Image width 240 mm, 1.00 mm slice spacing | Slice 85 of 155 | Head
FLAIR MR image.
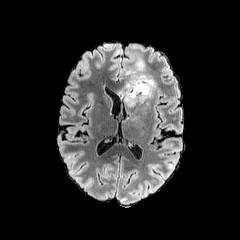
T1-weighted MRI.
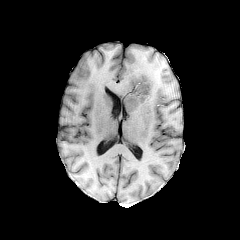
Post-contrast T1-weighted MR image.
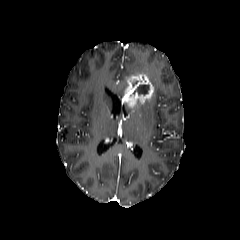
T2-weighted MRI.
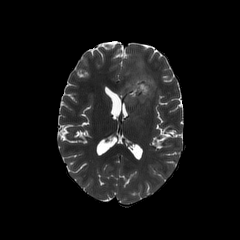
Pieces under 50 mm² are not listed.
{"peritumoral_edema": ["rect(119, 79, 126, 99)", "rect(123, 50, 156, 98)"], "enhancing_tumor": ["rect(122, 73, 153, 108)"], "necrotic_tumor_core": ["rect(133, 84, 149, 94)"]}